FLAIR MR.
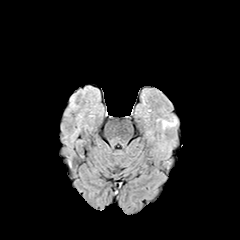
T1-weighted MR.
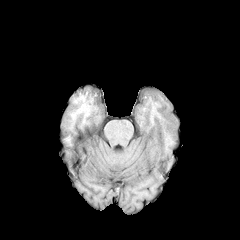
Post-contrast T1-weighted MR image.
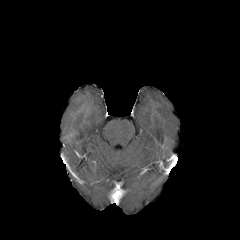
T2-weighted MRI.
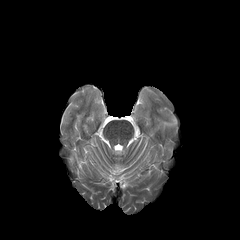
Axial view.
The peritumoral edema lies within [158, 116, 177, 129].